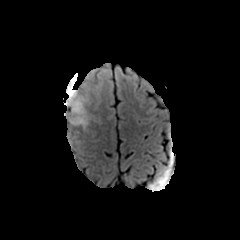
FLAIR MR image.
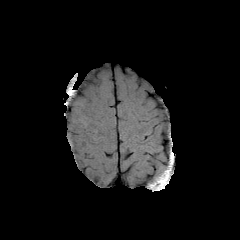
T1-weighted MR of the same slice.
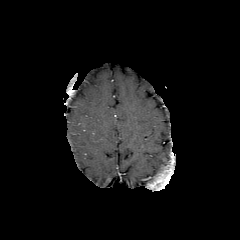
Post-contrast T1-weighted MR.
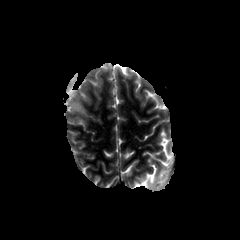
T2-weighted MR image.
Axial view, Brain
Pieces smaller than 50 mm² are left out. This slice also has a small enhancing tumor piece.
<segmentation>
  <peritumoral_edema>[66,84,98,128]</peritumoral_edema>
</segmentation>